240x240
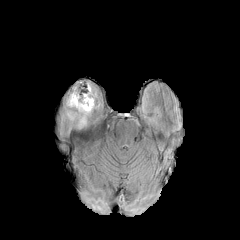
FLAIR MR.
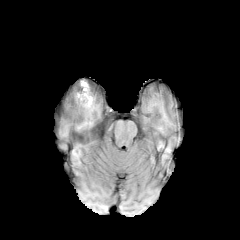
T1-weighted magnetic resonance.
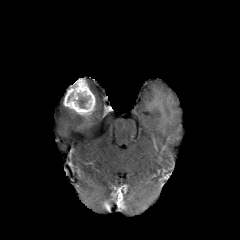
Post-contrast T1-weighted magnetic resonance.
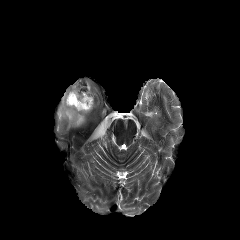
T2-weighted MR image.
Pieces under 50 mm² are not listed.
enhancing tumor = 63 79 95 115
peritumoral edema = 63 107 86 126
necrotic tumor core = 78 94 90 108